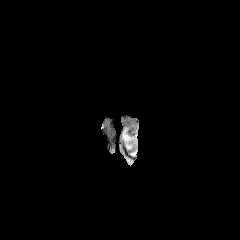
FLAIR MR.
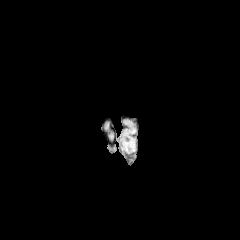
T1-weighted MRI of the same slice.
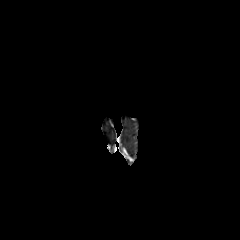
Post-contrast T1-weighted MR image of the same slice.
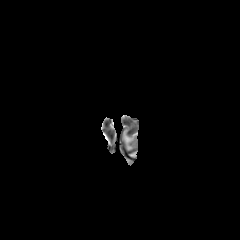
Same slice, T2-weighted MR image.
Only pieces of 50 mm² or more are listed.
Annotated regions:
• peritumoral edema: l=122, t=129, r=134, b=149